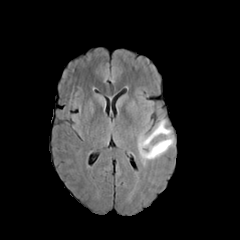
FLAIR MR image.
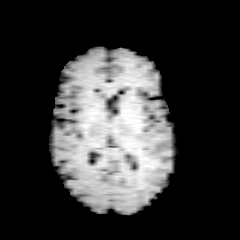
Same slice, T1-weighted MR.
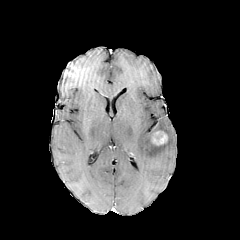
Same slice, post-contrast T1-weighted MR image.
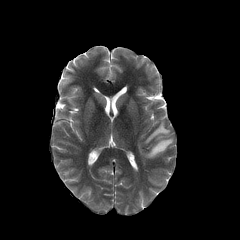
T2-weighted magnetic resonance.
Image size 240x240. Head.
The peritumoral edema is located at (138, 119, 173, 162). The enhancing tumor is at (152, 131, 167, 145).